FLAIR magnetic resonance.
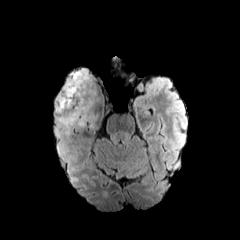
T1-weighted magnetic resonance.
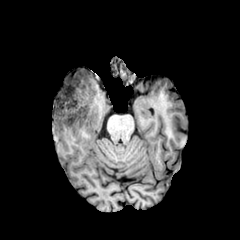
Post-contrast T1-weighted MRI.
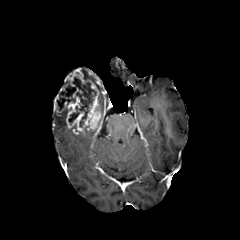
T2-weighted MR.
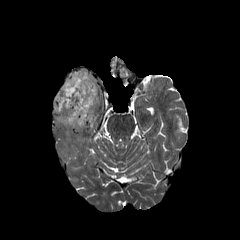
Image size 240x240
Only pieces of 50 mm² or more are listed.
necrotic tumor core: bounding box 57, 77, 96, 126
peritumoral edema: bounding box 56, 109, 69, 132; 82, 69, 91, 80
enhancing tumor: bounding box 54, 69, 101, 132